Brain
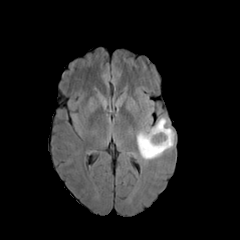
FLAIR magnetic resonance.
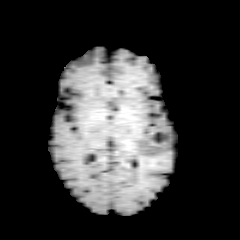
T1-weighted MRI.
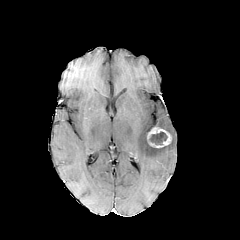
Post-contrast T1-weighted MR.
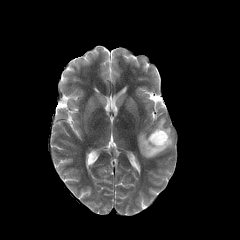
Same slice, T2-weighted magnetic resonance.
necrotic_tumor_core:
  - 149, 132, 167, 144
peritumoral_edema:
  - 137, 117, 174, 159
enhancing_tumor:
  - 147, 127, 171, 147